FLAIR magnetic resonance.
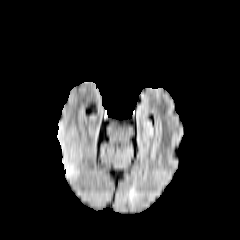
T1-weighted MR image.
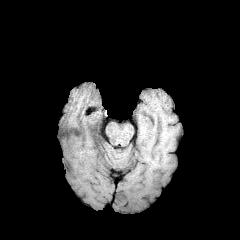
Post-contrast T1-weighted MR.
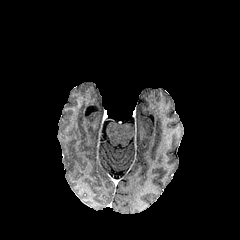
T2-weighted magnetic resonance.
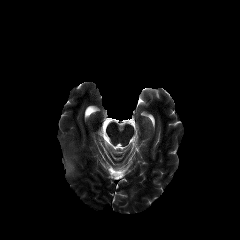
Head
peritumoral_edema:
  - left=57, top=124, right=76, bottom=177